FLAIR magnetic resonance.
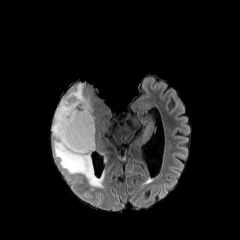
T1-weighted MR.
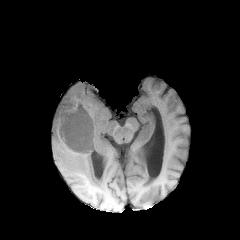
Post-contrast T1-weighted MR image.
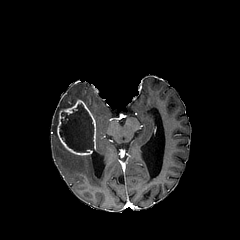
T2-weighted MR.
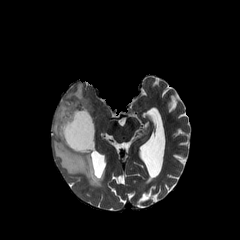
Head.
Findings:
* enhancing tumor: box(57, 100, 96, 155)
* peritumoral edema: box(52, 83, 104, 187)
* necrotic tumor core: box(59, 103, 93, 152)